FLAIR MR image.
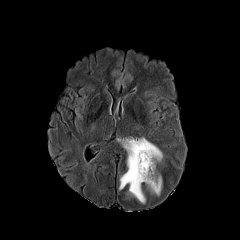
T1-weighted MRI.
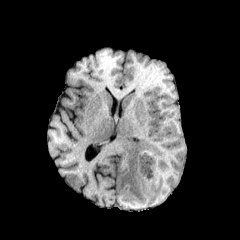
Post-contrast T1-weighted MR image.
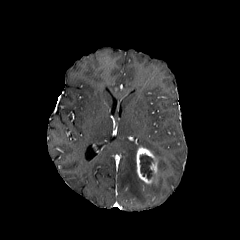
T2-weighted MRI.
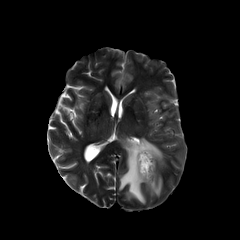
Head; Image size 240x240
2 peritumoral edema regions appear at x1=147, y1=174, x2=162, y2=195; x1=118, y1=137, x2=162, y2=203. The necrotic tumor core lies within x1=140, y1=155, x2=153, y2=179. The enhancing tumor lies within x1=136, y1=146, x2=158, y2=184.